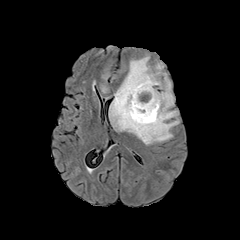
FLAIR magnetic resonance.
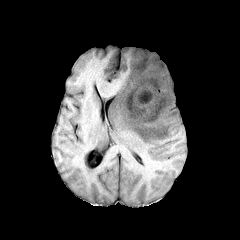
T1-weighted MRI.
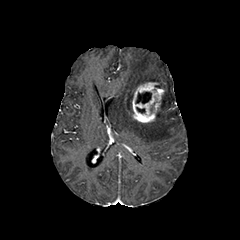
Same slice, post-contrast T1-weighted MRI.
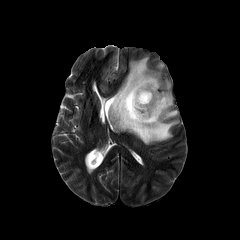
Same slice, T2-weighted MR image.
Axial slice | 240x240 px | Head
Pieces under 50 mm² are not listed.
<segmentation>
  <necrotic_tumor_core>136,92,151,103</necrotic_tumor_core>
  <peritumoral_edema>109,55,179,144</peritumoral_edema>
  <enhancing_tumor>125,82,164,122</enhancing_tumor>
</segmentation>